Head, Slice 46 of 155, Axial view
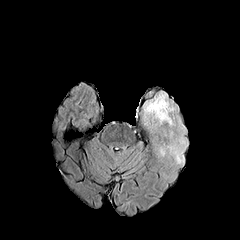
FLAIR magnetic resonance.
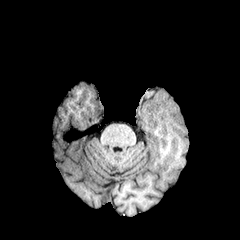
Same slice, T1-weighted MR.
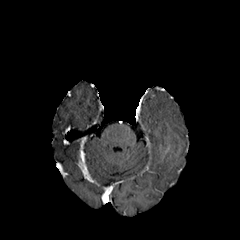
Post-contrast T1-weighted magnetic resonance.
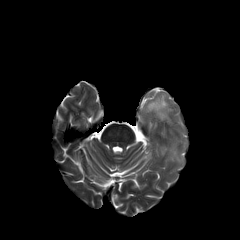
T2-weighted MR.
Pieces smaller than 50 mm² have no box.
peritumoral edema = 144 93 174 125, 169 139 184 163